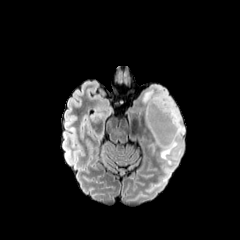
FLAIR MR image.
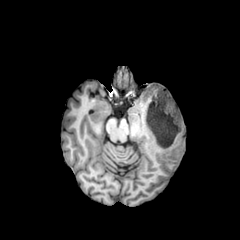
T1-weighted MR image of the same slice.
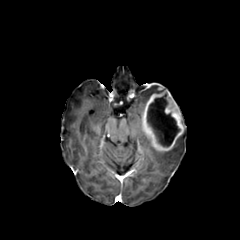
Post-contrast T1-weighted MR image of the same slice.
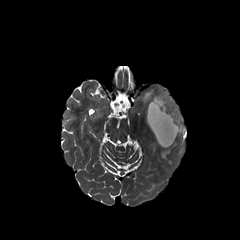
T2-weighted magnetic resonance.
Axial plane.
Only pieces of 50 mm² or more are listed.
The enhancing tumor lies within 142:86:184:151. The 2 largest peritumoral edema regions are bounded by 142:85:160:107, 160:127:185:164. The necrotic tumor core is at 147:94:180:146.